FLAIR magnetic resonance.
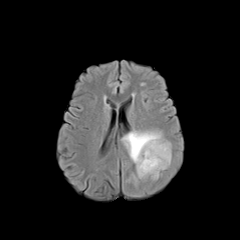
T1-weighted MR image.
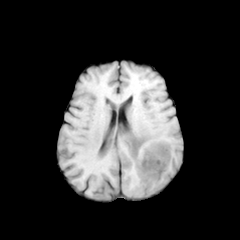
Post-contrast T1-weighted MR.
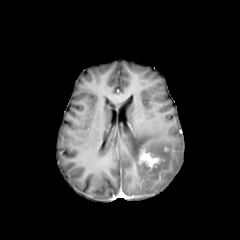
T2-weighted magnetic resonance.
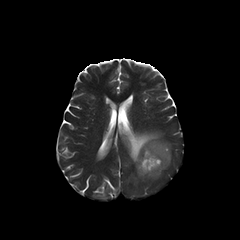
Brain; Axial slice
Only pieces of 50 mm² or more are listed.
enhancing tumor at (left=139, top=148, right=161, bottom=169)
peritumoral edema at (left=122, top=131, right=171, bottom=179)